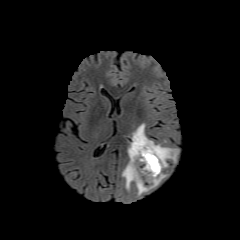
FLAIR MRI.
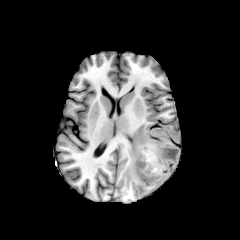
T1-weighted magnetic resonance.
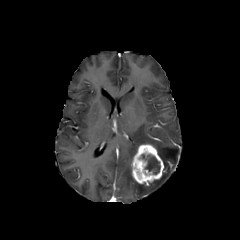
Same slice, post-contrast T1-weighted magnetic resonance.
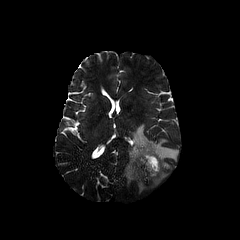
Same slice, T2-weighted MR.
Brain. Axial slice. 240x240 px.
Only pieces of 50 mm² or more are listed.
<segmentation>
  <peritumoral_edema>122, 123, 178, 194</peritumoral_edema>
  <enhancing_tumor>131, 144, 163, 185</enhancing_tumor>
  <necrotic_tumor_core>140, 153, 160, 174</necrotic_tumor_core>
</segmentation>